FLAIR magnetic resonance.
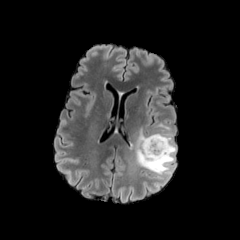
T1-weighted magnetic resonance.
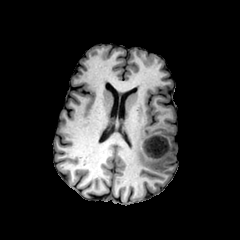
Post-contrast T1-weighted magnetic resonance.
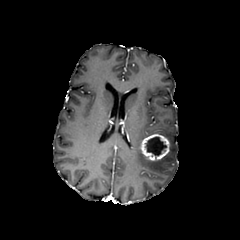
T2-weighted magnetic resonance.
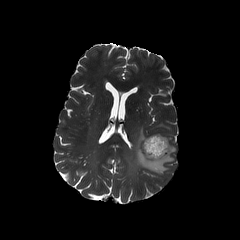
Axial view
* enhancing tumor: region(140, 134, 169, 160)
* necrotic tumor core: region(145, 136, 166, 156)
* peritumoral edema: region(135, 123, 176, 174)